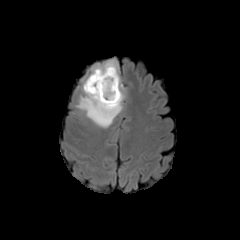
FLAIR MR.
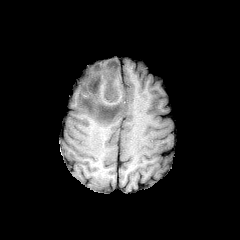
Same slice, T1-weighted MRI.
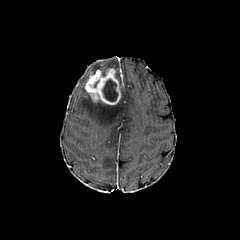
Post-contrast T1-weighted magnetic resonance.
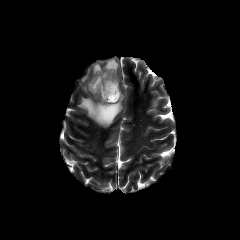
T2-weighted MR.
240x240. Axial view.
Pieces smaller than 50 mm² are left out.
Findings:
• peritumoral edema: {"x1": 77, "y1": 59, "x2": 125, "y2": 128}
• enhancing tumor: {"x1": 84, "y1": 68, "x2": 120, "y2": 104}
• necrotic tumor core: {"x1": 102, "y1": 79, "x2": 117, "y2": 101}